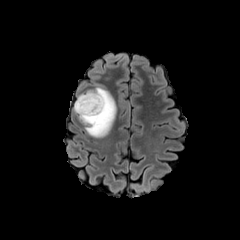
FLAIR MRI.
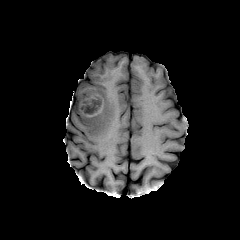
Same slice, T1-weighted MR image.
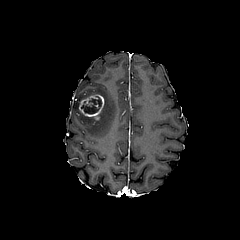
Post-contrast T1-weighted MR image.
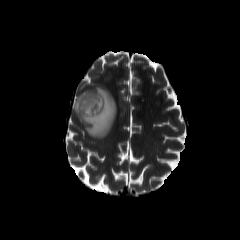
T2-weighted MR.
240x240
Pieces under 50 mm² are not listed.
peritumoral edema: (left=74, top=86, right=116, bottom=137) | enhancing tumor: (left=79, top=94, right=104, bottom=120) | necrotic tumor core: (left=81, top=97, right=101, bottom=113)